FLAIR MR.
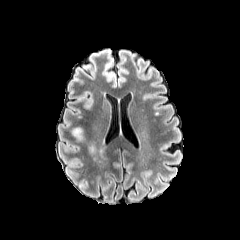
T1-weighted MRI.
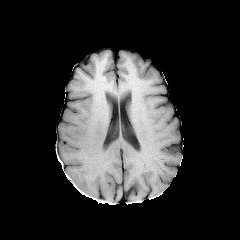
Post-contrast T1-weighted magnetic resonance.
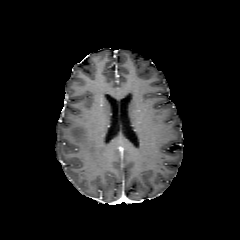
T2-weighted MR.
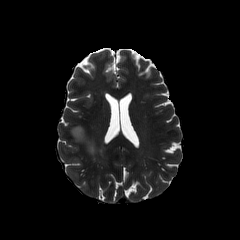
Axial plane. Head. 240x240.
<segmentation>
  <peritumoral_edema>71:127:96:153</peritumoral_edema>
</segmentation>